FLAIR magnetic resonance.
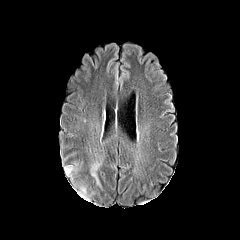
T1-weighted MR.
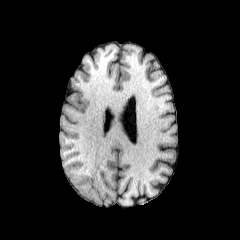
Post-contrast T1-weighted MR.
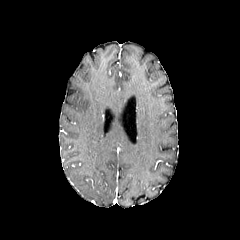
T2-weighted MRI.
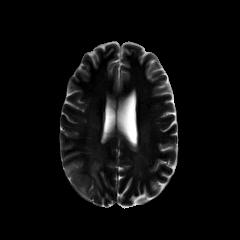
Head. Axial slice. 240x240 px.
3 peritumoral edema regions are located at bbox(65, 166, 72, 175); bbox(91, 163, 98, 184); bbox(80, 186, 87, 198).